FLAIR MR image.
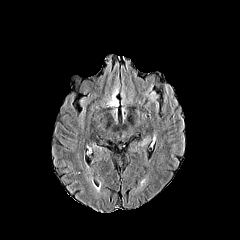
T1-weighted magnetic resonance.
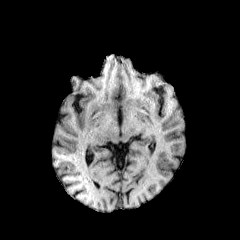
Post-contrast T1-weighted MR.
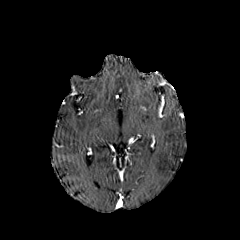
T2-weighted magnetic resonance.
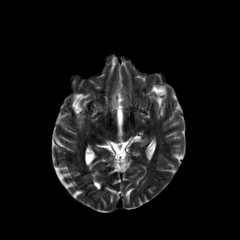
Head, Axial plane
peritumoral edema = [108, 84, 118, 106]